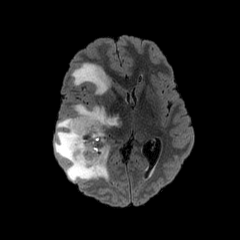
FLAIR magnetic resonance.
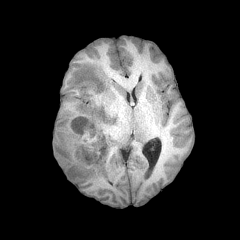
Same slice, T1-weighted MR image.
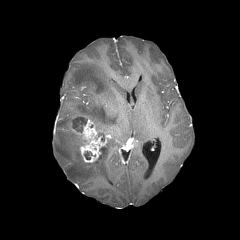
Post-contrast T1-weighted MR.
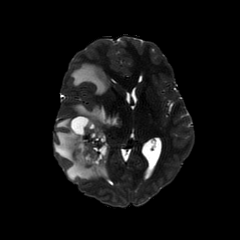
Same slice, T2-weighted MR.
Axial view; 240x240
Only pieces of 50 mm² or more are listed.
necrotic tumor core: 84:151:91:159, 73:117:87:132 | peritumoral edema: 71:63:110:94, 54:104:121:181 | enhancing tumor: 70:116:106:162